FLAIR MR.
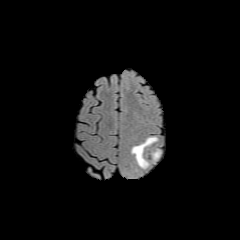
T1-weighted MR.
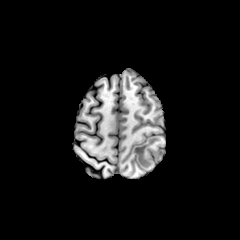
Post-contrast T1-weighted MR.
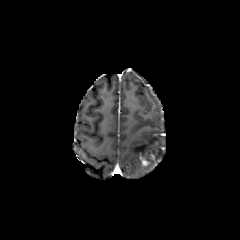
T2-weighted MR.
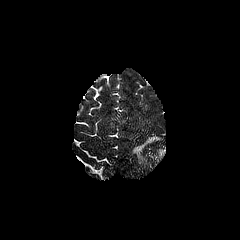
Axial slice; Head
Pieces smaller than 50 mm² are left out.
The largest enhancing tumor region is bounded by 138:151:149:166. 2 peritumoral edema regions are located at 154:150:161:159, 131:137:158:168.